FLAIR magnetic resonance.
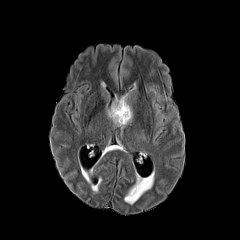
T1-weighted MRI.
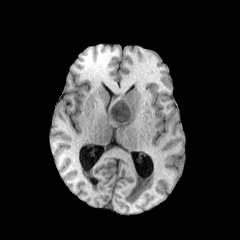
Post-contrast T1-weighted MRI.
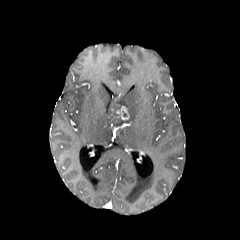
T2-weighted MR image.
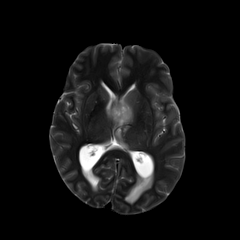
Brain
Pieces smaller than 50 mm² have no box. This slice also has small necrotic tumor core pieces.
enhancing tumor: [112,106,129,120]
peritumoral edema: [107,94,132,125]